Brain. Image size 240x240.
FLAIR magnetic resonance.
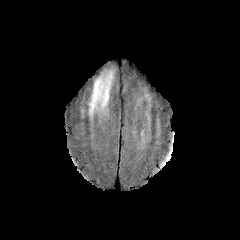
T1-weighted MR image.
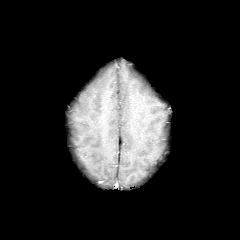
Post-contrast T1-weighted MRI.
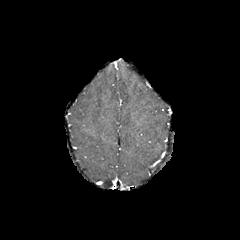
T2-weighted MRI.
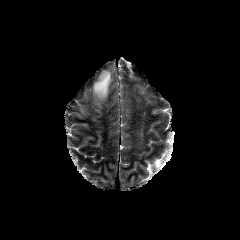
peritumoral edema: box=[90, 71, 112, 112]